Image width 240 mm; Head; Image size 240x240
FLAIR MR.
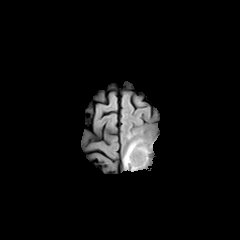
T1-weighted magnetic resonance.
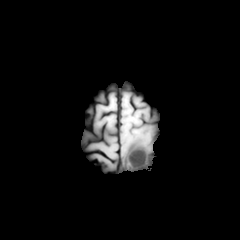
Post-contrast T1-weighted MR image.
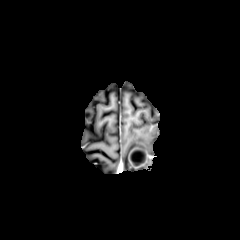
T2-weighted MRI.
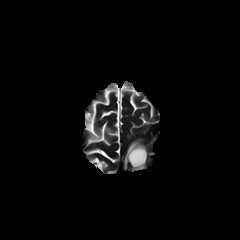
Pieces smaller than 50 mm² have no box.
peritumoral edema: bounding box 123,138,149,171
necrotic tumor core: bounding box 131,151,143,165
enhancing tumor: bounding box 128,147,146,169